Head. Slice 85/155.
FLAIR magnetic resonance.
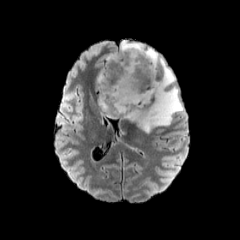
T1-weighted MRI.
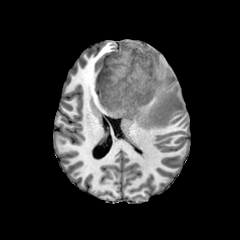
Post-contrast T1-weighted MR image.
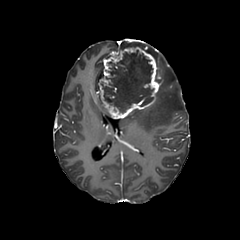
T2-weighted MRI.
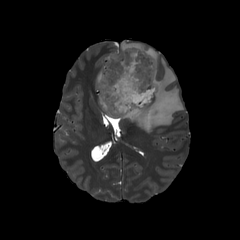
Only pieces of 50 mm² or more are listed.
* enhancing tumor: x1=98, y1=47, x2=160, y2=118
* peritumoral edema: x1=120, y1=41, x2=183, y2=132; x1=99, y1=93, x2=110, y2=116; x1=97, y1=69, x2=102, y2=89
* necrotic tumor core: x1=101, y1=51, x2=153, y2=112